240x240, Brain, Slice index 110
FLAIR magnetic resonance.
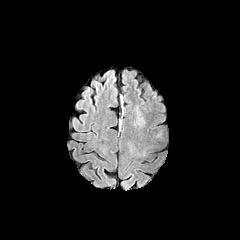
T1-weighted MR.
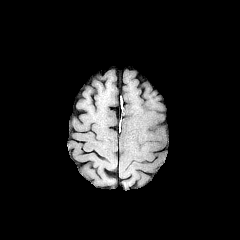
Post-contrast T1-weighted MR.
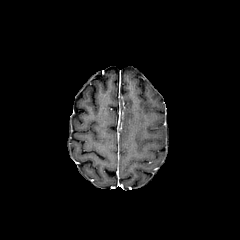
T2-weighted MR.
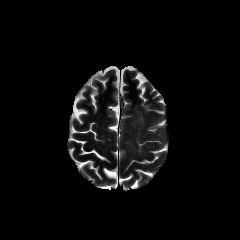
The peritumoral edema is at 134:107:143:125.